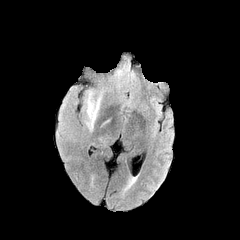
FLAIR MR image.
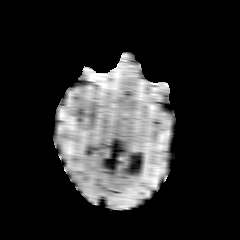
T1-weighted MR.
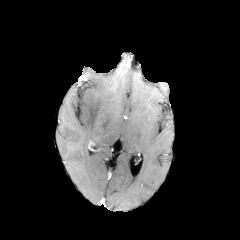
Post-contrast T1-weighted MR image of the same slice.
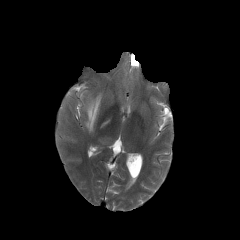
T2-weighted magnetic resonance of the same slice.
Axial slice.
{"peritumoral_edema": ["[88,97,100,129]"]}